Brain | Slice 35/155 | Image width 240 mm, 1.00 mm slice spacing
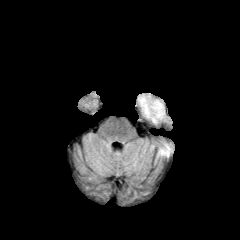
FLAIR magnetic resonance.
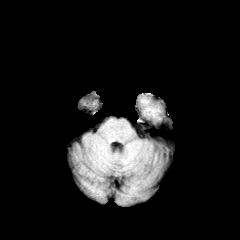
T1-weighted MR image of the same slice.
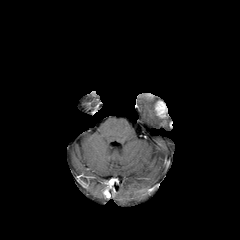
Same slice, post-contrast T1-weighted MR image.
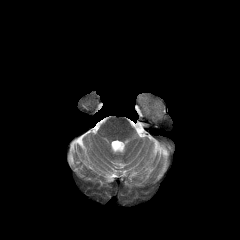
T2-weighted MRI.
enhancing tumor: bounding box 154:100:166:118
peritumoral edema: bounding box 158:145:170:155, 137:94:161:122